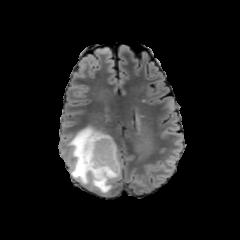
FLAIR MR.
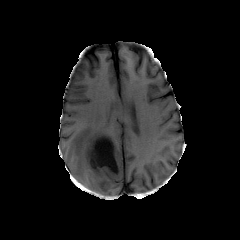
T1-weighted MR.
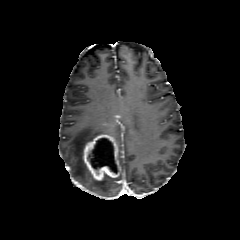
Post-contrast T1-weighted magnetic resonance.
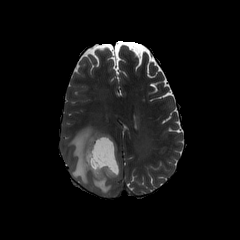
T2-weighted MR image.
Head, Axial plane
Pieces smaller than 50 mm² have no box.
peritumoral edema: {"x1": 67, "y1": 126, "x2": 121, "y2": 193} | necrotic tumor core: {"x1": 91, "y1": 137, "x2": 117, "y2": 173} | enhancing tumor: {"x1": 83, "y1": 134, "x2": 120, "y2": 181}